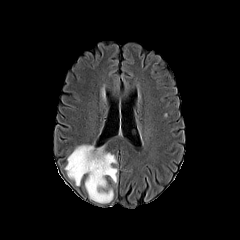
FLAIR magnetic resonance.
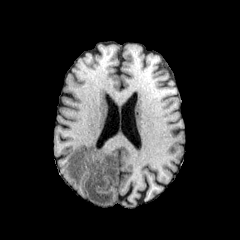
T1-weighted magnetic resonance.
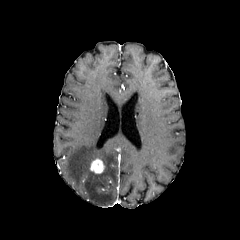
Same slice, post-contrast T1-weighted MR image.
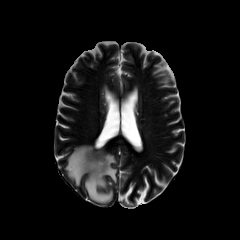
T2-weighted MR image of the same slice.
Axial view.
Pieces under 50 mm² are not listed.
peritumoral edema: (x1=64, y1=144, x2=117, y2=203) | enhancing tumor: (x1=90, y1=158, x2=104, y2=173)